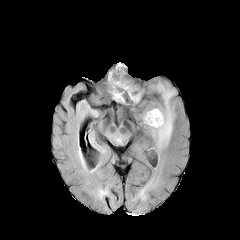
FLAIR magnetic resonance.
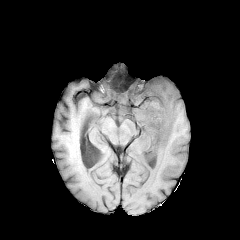
T1-weighted MR.
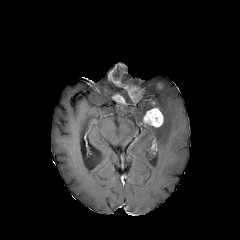
Post-contrast T1-weighted magnetic resonance.
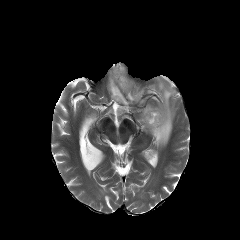
Same slice, T2-weighted magnetic resonance.
Image size 240x240. Brain. Axial view.
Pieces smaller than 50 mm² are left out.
<segmentation>
  <peritumoral_edema>[142, 82, 176, 148], [110, 81, 122, 95]</peritumoral_edema>
  <enhancing_tumor>[143, 108, 163, 127], [112, 93, 127, 104], [108, 63, 143, 102]</enhancing_tumor>
</segmentation>